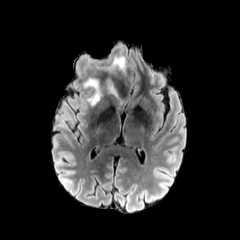
FLAIR magnetic resonance.
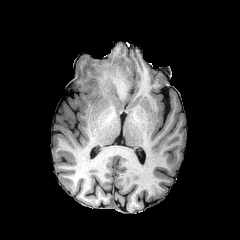
T1-weighted magnetic resonance.
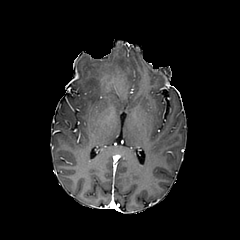
Same slice, post-contrast T1-weighted MR.
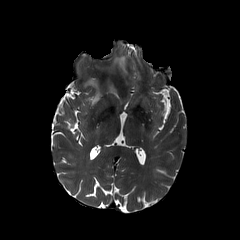
T2-weighted MR image.
240x240
Segmented structures:
* peritumoral edema: l=83, t=57, r=126, b=107